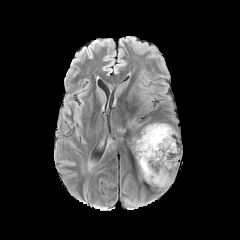
FLAIR MRI.
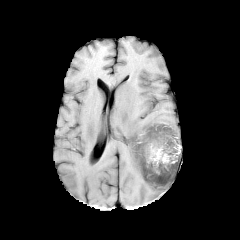
T1-weighted MR.
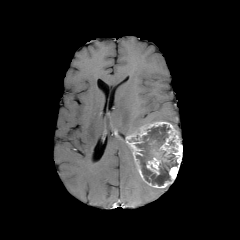
Same slice, post-contrast T1-weighted MR.
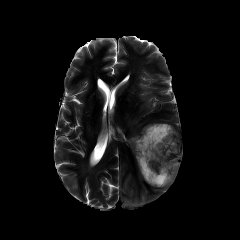
T2-weighted MR image of the same slice.
Head, Image size 240x240
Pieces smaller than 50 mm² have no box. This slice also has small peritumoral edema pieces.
* necrotic tumor core: region(136, 124, 177, 185)
* enhancing tumor: region(127, 122, 182, 188)